FLAIR MR.
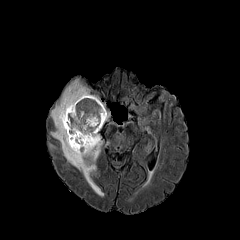
T1-weighted MRI.
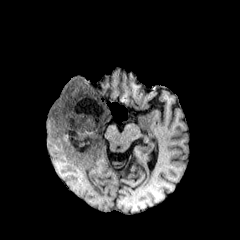
Post-contrast T1-weighted MR image.
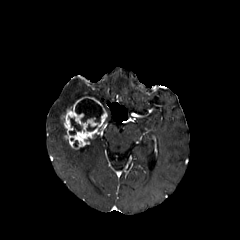
T2-weighted MR image.
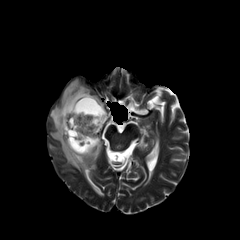
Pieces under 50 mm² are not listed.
enhancing tumor: {"x1": 61, "y1": 96, "x2": 107, "y2": 149} | peritumoral edema: {"x1": 50, "y1": 79, "x2": 104, "y2": 196} | necrotic tumor core: {"x1": 75, "y1": 98, "x2": 103, "y2": 123}, {"x1": 69, "y1": 118, "x2": 81, "y2": 134}